Image size 240x240, Slice 103/155, Brain
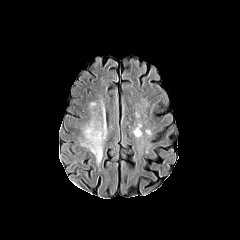
FLAIR magnetic resonance.
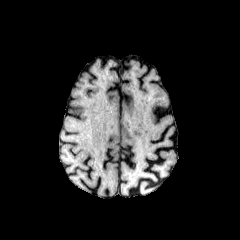
T1-weighted MRI of the same slice.
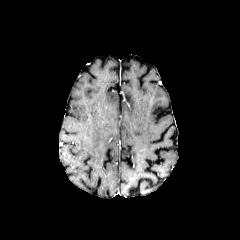
Same slice, post-contrast T1-weighted MRI.
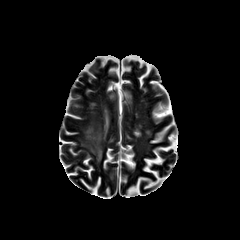
T2-weighted MR image of the same slice.
The peritumoral edema appears at bbox(82, 121, 102, 162).